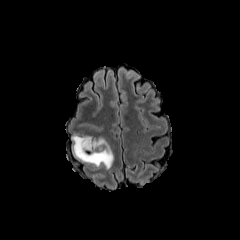
FLAIR MR image.
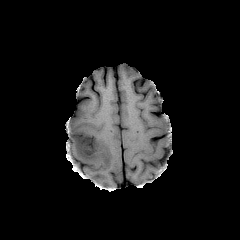
Same slice, T1-weighted magnetic resonance.
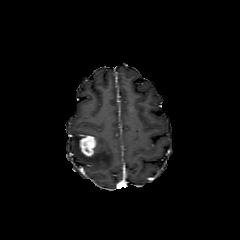
Post-contrast T1-weighted MR.
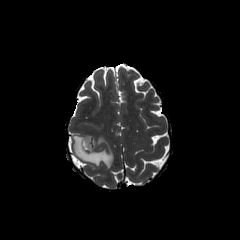
Same slice, T2-weighted magnetic resonance.
Brain. Axial slice.
enhancing tumor: box(79, 135, 97, 156) | peritumoral edema: box(72, 134, 113, 168)